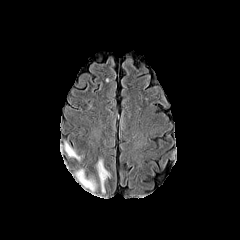
FLAIR MR image.
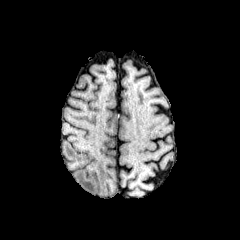
T1-weighted MR of the same slice.
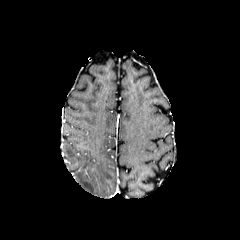
Post-contrast T1-weighted MR image.
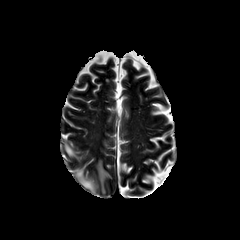
T2-weighted MR of the same slice.
Brain | 240x240
* peritumoral edema: box(76, 170, 96, 193); box(96, 159, 110, 193); box(64, 143, 80, 160)